FLAIR MR image.
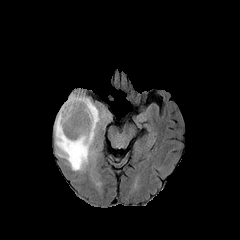
T1-weighted MR.
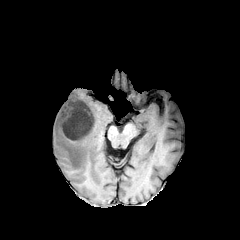
Post-contrast T1-weighted MRI.
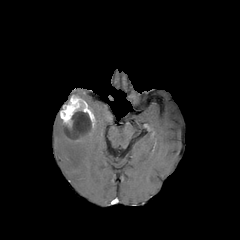
T2-weighted MR.
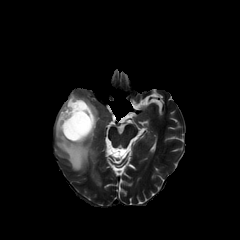
Brain.
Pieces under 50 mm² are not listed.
enhancing_tumor:
  - (60, 94, 96, 141)
necrotic_tumor_core:
  - (65, 100, 91, 139)
peritumoral_edema:
  - (54, 93, 104, 171)